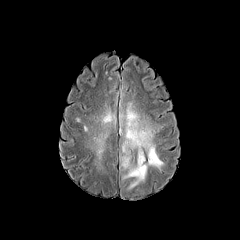
FLAIR magnetic resonance.
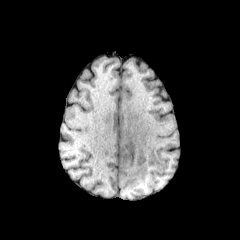
Same slice, T1-weighted magnetic resonance.
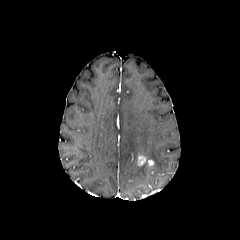
Post-contrast T1-weighted magnetic resonance of the same slice.
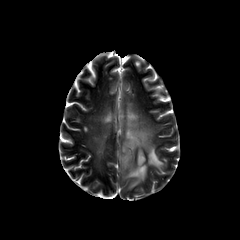
T2-weighted magnetic resonance of the same slice.
Axial slice, Head
The enhancing tumor appears at left=134, top=153, right=153, bottom=166. The peritumoral edema lies within left=84, top=81, right=166, bottom=189.